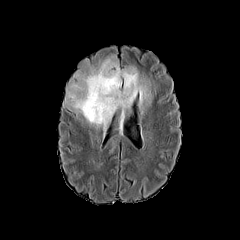
FLAIR MR.
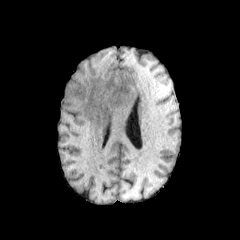
T1-weighted MRI of the same slice.
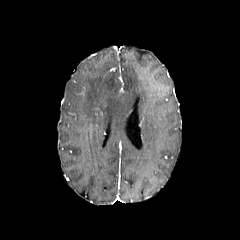
Same slice, post-contrast T1-weighted MRI.
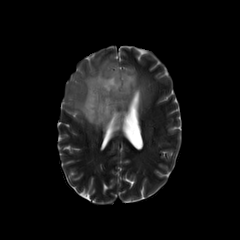
T2-weighted MR.
Brain, 240x240 px
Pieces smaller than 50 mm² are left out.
peritumoral edema = bbox(65, 58, 152, 127)